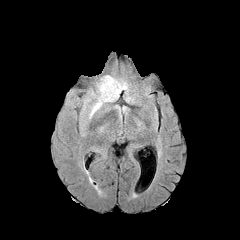
FLAIR MRI.
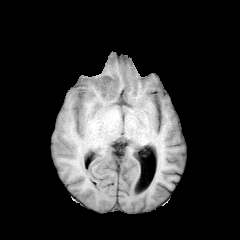
Same slice, T1-weighted MR image.
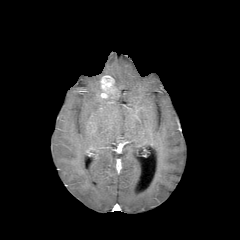
Post-contrast T1-weighted magnetic resonance.
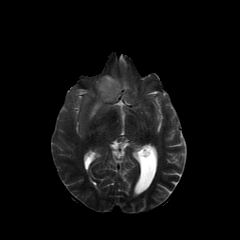
T2-weighted MR image.
Axial slice | Head
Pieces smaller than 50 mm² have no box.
{"enhancing_tumor": [{"x1": 100, "y1": 75, "x2": 116, "y2": 98}], "peritumoral_edema": [{"x1": 102, "y1": 79, "x2": 126, "y2": 101}, {"x1": 90, "y1": 100, "x2": 102, "y2": 115}]}